Axial plane | Slice 87 of 155 | Image size 240x240 | Brain
FLAIR MR.
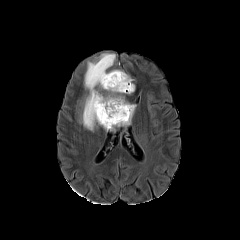
T1-weighted MR image.
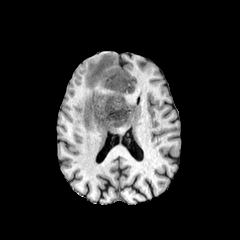
Post-contrast T1-weighted magnetic resonance.
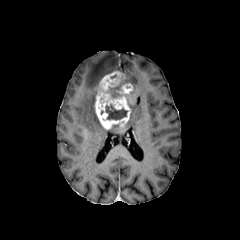
T2-weighted magnetic resonance.
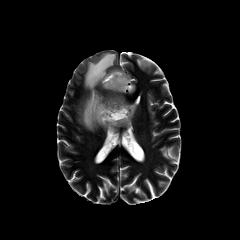
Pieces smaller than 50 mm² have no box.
The 2 largest peritumoral edema regions are bounded by bbox=[125, 104, 135, 125]; bbox=[82, 53, 115, 130]. The enhancing tumor is at bbox=[94, 70, 133, 129]. The 2 largest necrotic tumor core regions are located at bbox=[106, 105, 127, 119]; bbox=[109, 84, 121, 97].